FLAIR MRI.
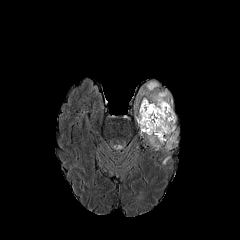
T1-weighted MR image.
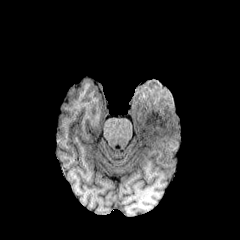
Post-contrast T1-weighted MR image.
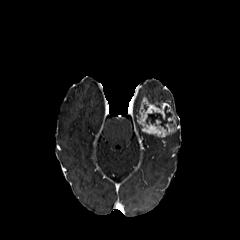
T2-weighted magnetic resonance.
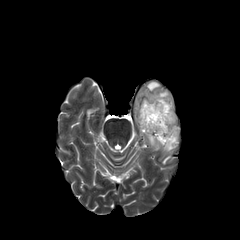
240x240 px
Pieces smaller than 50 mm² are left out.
necrotic_tumor_core:
  - (146,106,172,128)
peritumoral_edema:
  - (136,81,178,151)
enhancing_tumor:
  - (137,97,178,137)